FLAIR magnetic resonance.
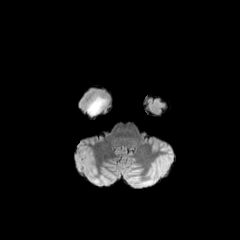
T1-weighted MRI.
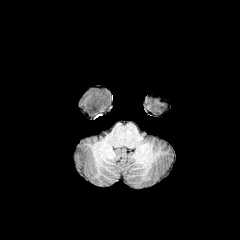
Post-contrast T1-weighted magnetic resonance.
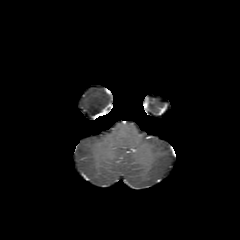
T2-weighted magnetic resonance.
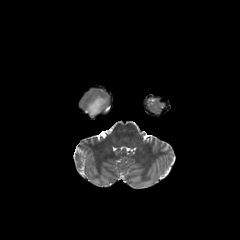
Brain | Axial view
Segmented structures:
• peritumoral edema: [87, 96, 107, 116]